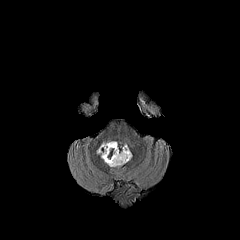
FLAIR MR.
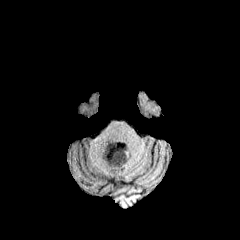
T1-weighted magnetic resonance.
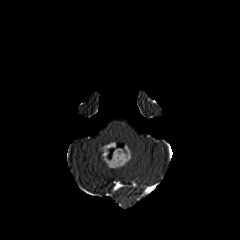
Same slice, post-contrast T1-weighted MR.
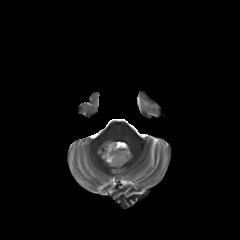
T2-weighted MR.
Brain | 240x240 px | Axial slice
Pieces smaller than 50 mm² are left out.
Annotated regions:
* enhancing tumor: (left=101, top=142, right=131, bottom=168)
* peritumoral edema: (left=97, top=141, right=115, bottom=158)
* necrotic tumor core: (left=107, top=148, right=116, bottom=159)